FLAIR MR image.
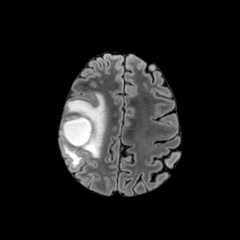
T1-weighted MR.
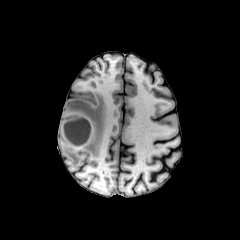
Post-contrast T1-weighted magnetic resonance.
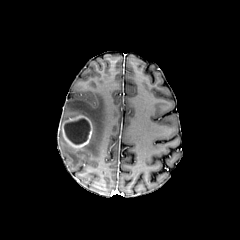
T2-weighted MR.
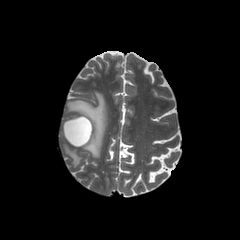
Axial plane | Brain | 240x240 px
{
  "peritumoral_edema": [
    "63,92,106,157",
    "60,130,82,167"
  ],
  "enhancing_tumor": [
    "61,114,92,148"
  ],
  "necrotic_tumor_core": [
    "64,118,89,144"
  ]
}